Image size 240x240. Axial slice.
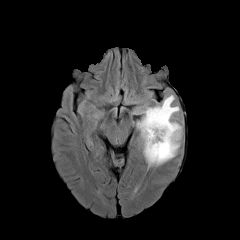
FLAIR magnetic resonance.
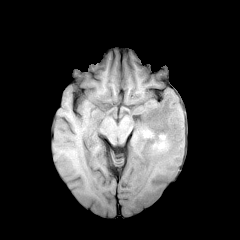
Same slice, T1-weighted MR image.
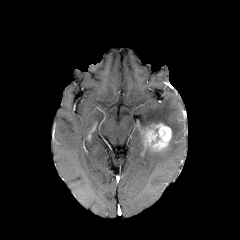
Post-contrast T1-weighted MR image of the same slice.
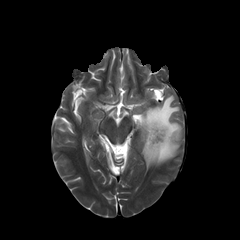
T2-weighted MRI.
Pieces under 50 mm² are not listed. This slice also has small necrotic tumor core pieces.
enhancing tumor — 144 123 171 150
peritumoral edema — 162 95 174 102, 130 104 182 168